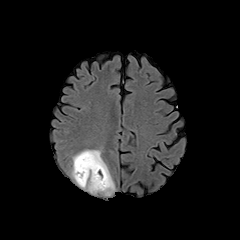
FLAIR MR.
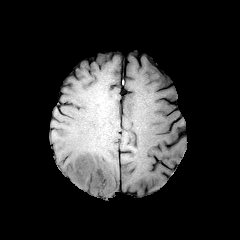
T1-weighted magnetic resonance.
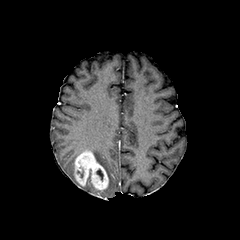
Same slice, post-contrast T1-weighted MR image.
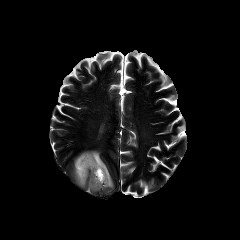
T2-weighted MR of the same slice.
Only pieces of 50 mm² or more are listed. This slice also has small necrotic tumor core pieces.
peritumoral edema = (71,150,114,195)
enhancing tumor = (74,151,108,190)